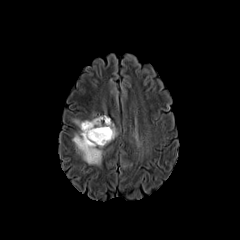
FLAIR MR image.
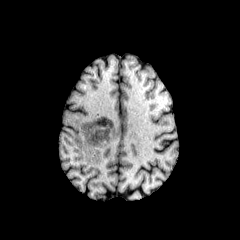
T1-weighted MRI.
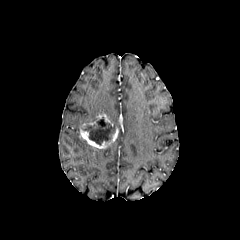
Post-contrast T1-weighted magnetic resonance.
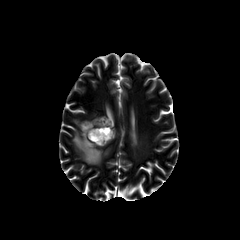
T2-weighted MR.
Axial slice | Brain
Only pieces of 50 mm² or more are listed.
Findings:
- enhancing tumor: [80,114,118,148]
- peritumoral edema: [73,114,96,127], [72,131,103,165]
- necrotic tumor core: [83,117,115,145]